240x240 px. Axial plane. Head.
FLAIR MR.
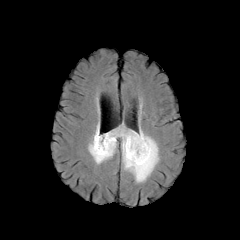
T1-weighted MRI.
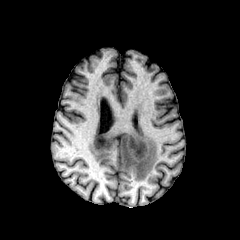
Post-contrast T1-weighted MR image.
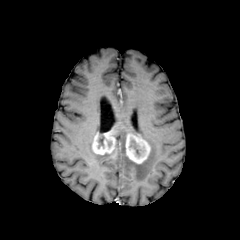
T2-weighted magnetic resonance.
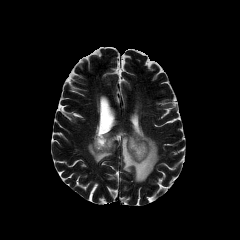
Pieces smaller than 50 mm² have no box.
<segmentation>
  <necrotic_tumor_core>130,140,140,156</necrotic_tumor_core>
  <enhancing_tumor>125,133,150,163; 92,131,116,155</enhancing_tumor>
  <peritumoral_edema>112,124,159,182; 88,125,117,163</peritumoral_edema>
</segmentation>